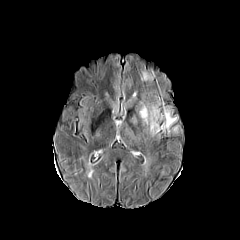
FLAIR MRI.
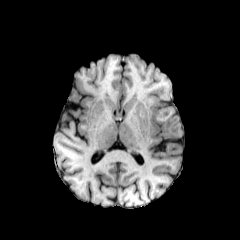
Same slice, T1-weighted MR.
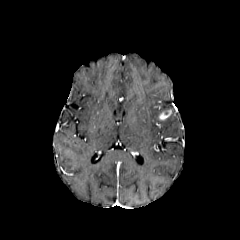
Post-contrast T1-weighted magnetic resonance.
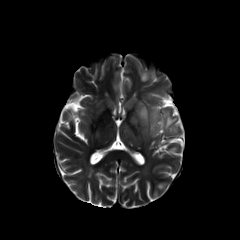
T2-weighted MR image.
Brain.
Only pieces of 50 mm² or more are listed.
enhancing tumor: bbox=[158, 110, 171, 120] | peritumoral edema: bbox=[142, 72, 152, 80]; bbox=[161, 115, 176, 133]; bbox=[139, 106, 159, 134]